FLAIR MR image.
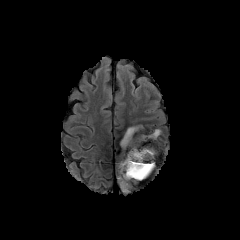
T1-weighted MR image.
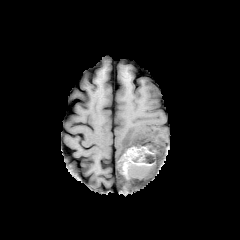
Post-contrast T1-weighted MR image.
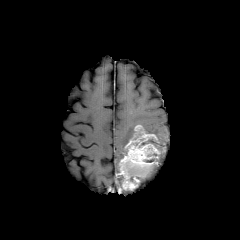
T2-weighted MR image.
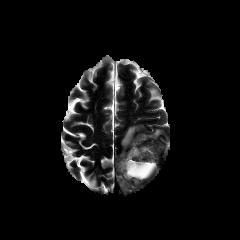
Head; Axial plane; Image size 240x240
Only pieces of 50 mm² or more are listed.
enhancing tumor: bbox(118, 125, 159, 189) | necrotic tumor core: bbox(127, 163, 156, 181) | peritumoral edema: bbox(151, 129, 161, 137); bbox(118, 175, 128, 192); bbox(120, 126, 134, 148)